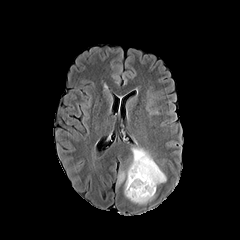
FLAIR MR.
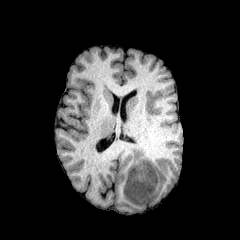
T1-weighted MR of the same slice.
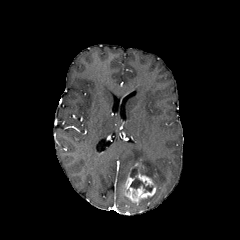
Post-contrast T1-weighted MRI.
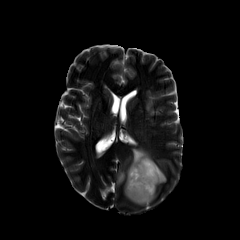
T2-weighted MR.
Image size 240x240, Head
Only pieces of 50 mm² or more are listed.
The 2 largest necrotic tumor core regions are bounded by 130 178 153 192, 130 167 137 177. 2 peritumoral edema regions are located at 139 196 153 204, 118 148 166 185. The enhancing tumor is located at 124 163 156 203.